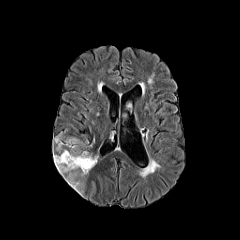
FLAIR magnetic resonance.
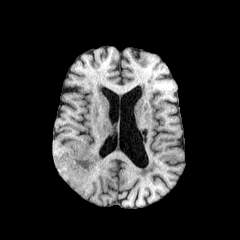
T1-weighted MR image.
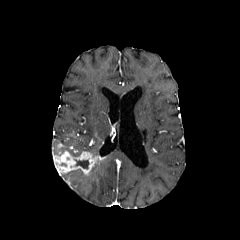
Post-contrast T1-weighted MRI.
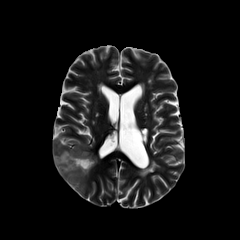
T2-weighted MR image.
Axial slice | Brain | 240x240 px
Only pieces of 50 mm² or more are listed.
<segmentation>
  <enhancing_tumor>[x1=53, y1=150, x2=97, y2=175]</enhancing_tumor>
  <peritumoral_edema>[x1=59, y1=170, x2=87, y2=194], [x1=53, y1=135, x2=86, y2=155]</peritumoral_edema>
  <necrotic_tumor_core>[x1=75, y1=160, x2=88, y2=168]</necrotic_tumor_core>
</segmentation>